FLAIR MRI.
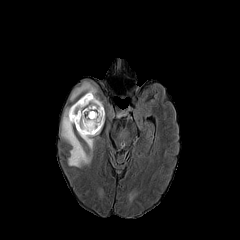
T1-weighted magnetic resonance.
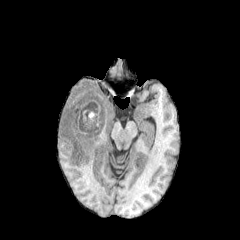
Post-contrast T1-weighted magnetic resonance.
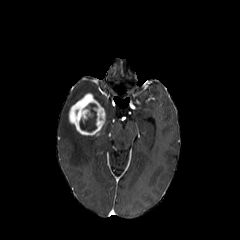
T2-weighted magnetic resonance.
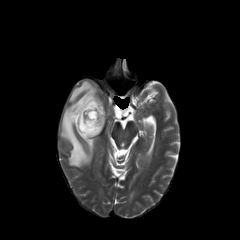
Axial view | 240x240 px
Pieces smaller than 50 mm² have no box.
necrotic tumor core: (x1=80, y1=103, x2=98, y2=131)
peritumoral edema: (x1=61, y1=107, x2=91, y2=167), (x1=70, y1=81, x2=103, y2=106), (x1=77, y1=132, x2=94, y2=156)
enhancing tumor: (x1=68, y1=93, x2=105, y2=135)